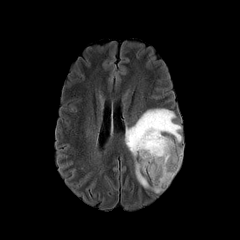
FLAIR magnetic resonance.
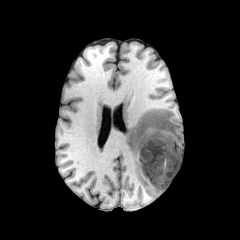
Same slice, T1-weighted MR.
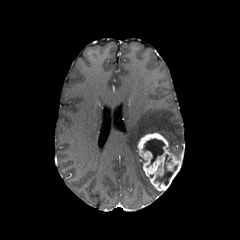
Post-contrast T1-weighted magnetic resonance of the same slice.
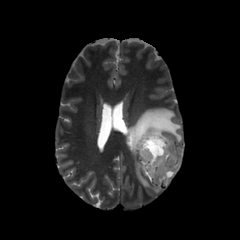
Same slice, T2-weighted MRI.
Axial view, Image size 240x240
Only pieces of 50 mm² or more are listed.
Annotated regions:
- enhancing tumor: bbox=[137, 132, 183, 191]
- peritumoral edema: bbox=[125, 108, 182, 192]
- necrotic tumor core: bbox=[156, 155, 173, 185]; bbox=[143, 139, 164, 163]